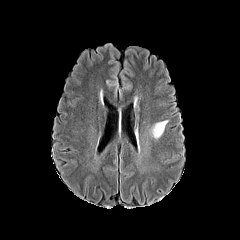
FLAIR MR.
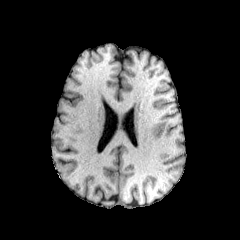
Same slice, T1-weighted MR image.
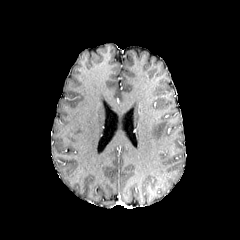
Same slice, post-contrast T1-weighted MR.
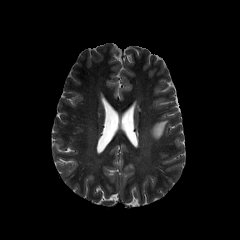
T2-weighted MR.
Head, 240x240
peritumoral_edema:
  - {"x1": 150, "y1": 120, "x2": 167, "y2": 139}